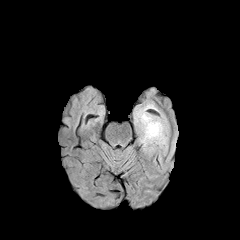
FLAIR MR.
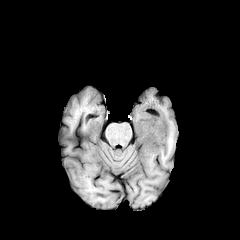
T1-weighted MRI.
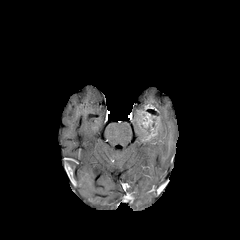
Same slice, post-contrast T1-weighted MRI.
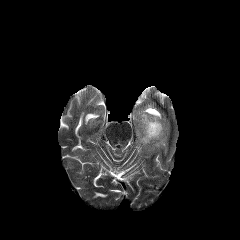
T2-weighted MR.
240x240
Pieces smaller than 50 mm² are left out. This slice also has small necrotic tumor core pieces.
peritumoral edema: {"x1": 133, "y1": 102, "x2": 169, "y2": 152} | enhancing tumor: {"x1": 137, "y1": 104, "x2": 162, "y2": 142}